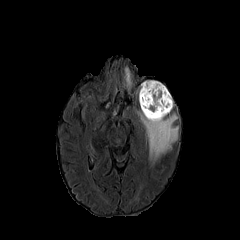
FLAIR MRI.
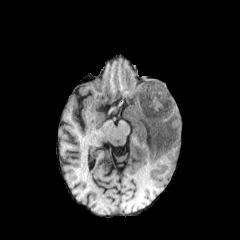
T1-weighted MRI.
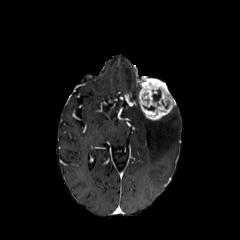
Post-contrast T1-weighted magnetic resonance.
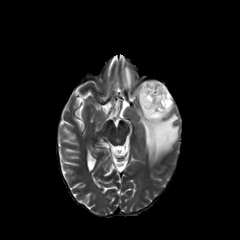
T2-weighted MRI.
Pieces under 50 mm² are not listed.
enhancing tumor: 138:79:175:120 | necrotic tumor core: 153:89:161:101 | peritumoral edema: 124:67:132:90, 136:110:179:164